Head. Slice 83/155.
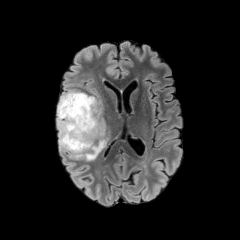
FLAIR MR.
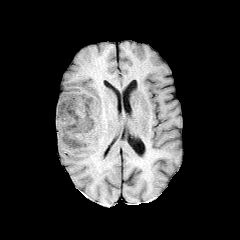
T1-weighted magnetic resonance.
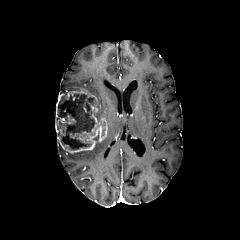
Post-contrast T1-weighted MR image.
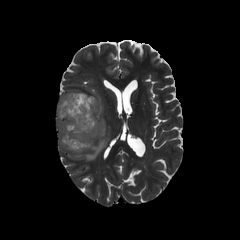
T2-weighted MR image of the same slice.
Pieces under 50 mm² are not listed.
Annotated regions:
* peritumoral edema: (68,137,108,160)
* enhancing tumor: (56,91,107,153)
* necrotic tumor core: (59,94,94,149)